Head; Axial plane; Slice 72/155
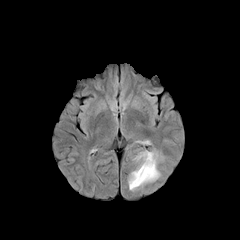
FLAIR magnetic resonance.
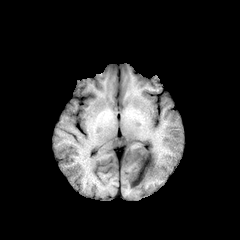
T1-weighted MRI.
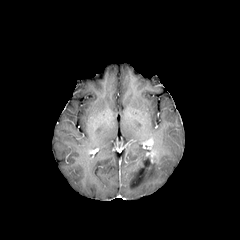
Post-contrast T1-weighted MRI.
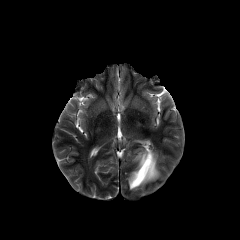
T2-weighted MR.
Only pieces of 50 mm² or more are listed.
enhancing tumor: left=141, top=150, right=155, bottom=166 | peritumoral edema: left=128, top=149, right=163, bottom=190 | necrotic tumor core: left=143, top=157, right=152, bottom=166